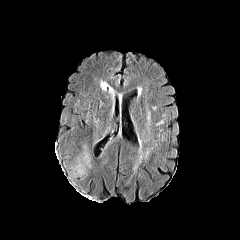
FLAIR magnetic resonance.
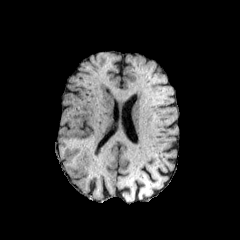
T1-weighted magnetic resonance.
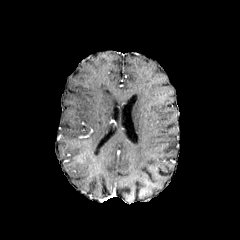
Post-contrast T1-weighted magnetic resonance of the same slice.
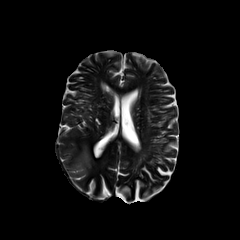
T2-weighted magnetic resonance of the same slice.
Annotated regions:
* peritumoral edema: box(73, 153, 90, 175)